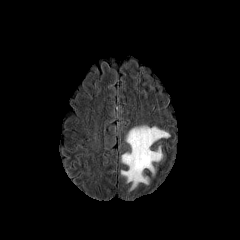
FLAIR MR.
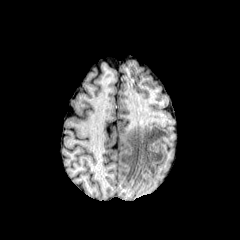
T1-weighted magnetic resonance of the same slice.
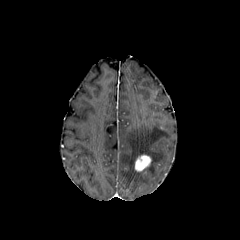
Post-contrast T1-weighted MRI of the same slice.
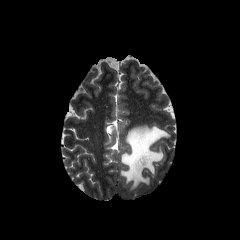
T2-weighted magnetic resonance.
Axial plane
The enhancing tumor appears at bbox=[134, 154, 151, 171]. The peritumoral edema appears at bbox=[121, 124, 170, 191].